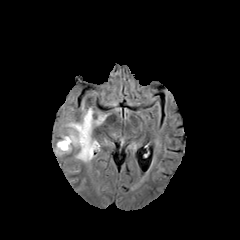
FLAIR magnetic resonance.
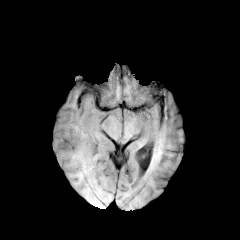
T1-weighted magnetic resonance.
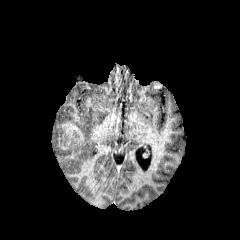
Same slice, post-contrast T1-weighted MRI.
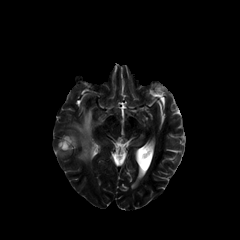
T2-weighted MR of the same slice.
Axial view
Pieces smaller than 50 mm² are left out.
peritumoral edema: bounding box (x1=55, y1=108, x2=103, y2=161)
enhancing tumor: bounding box (x1=60, y1=139, x2=71, y2=149)